Brain; Image size 240x240
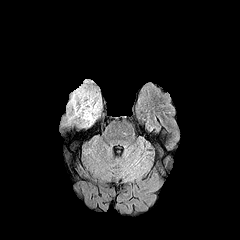
FLAIR MR image.
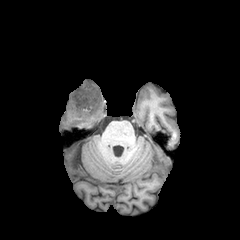
T1-weighted MRI.
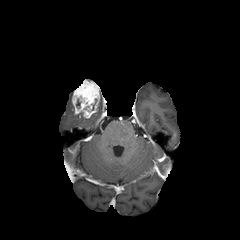
Post-contrast T1-weighted MR.
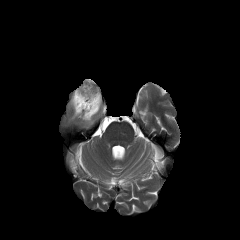
T2-weighted MRI of the same slice.
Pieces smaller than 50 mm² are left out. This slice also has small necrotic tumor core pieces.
Segmented structures:
- enhancing tumor: <box>72,79,100,118</box>
- peritumoral edema: <box>68,98,101,126</box>